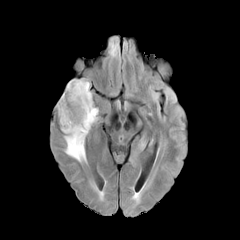
FLAIR MR image.
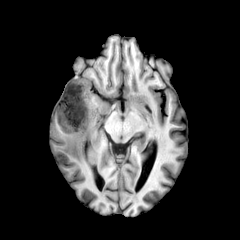
T1-weighted MRI.
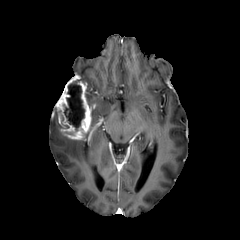
Same slice, post-contrast T1-weighted MRI.
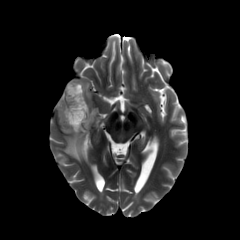
T2-weighted MR image of the same slice.
Brain
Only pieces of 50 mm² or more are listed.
necrotic_tumor_core:
  - {"x1": 63, "y1": 80, "x2": 84, "y2": 130}
enhancing_tumor:
  - {"x1": 56, "y1": 76, "x2": 91, "y2": 139}
peritumoral_edema:
  - {"x1": 64, "y1": 132, "x2": 87, "y2": 162}
  - {"x1": 85, "y1": 81, "x2": 98, "y2": 127}